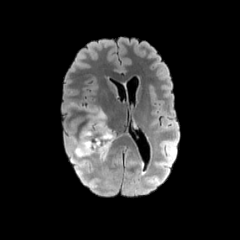
FLAIR magnetic resonance.
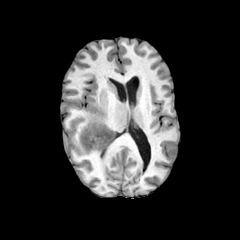
Same slice, T1-weighted magnetic resonance.
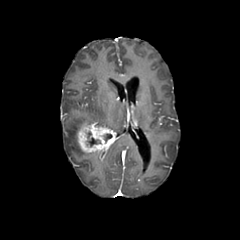
Post-contrast T1-weighted MR image of the same slice.
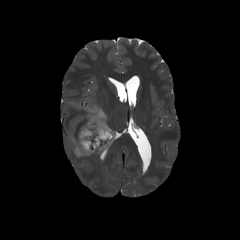
T2-weighted magnetic resonance of the same slice.
Head | Axial slice
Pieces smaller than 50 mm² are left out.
The enhancing tumor appears at bbox=[78, 122, 115, 153]. The largest necrotic tumor core region is at bbox=[88, 137, 98, 146]. The 2 largest peritumoral edema regions are located at bbox=[71, 137, 92, 157]; bbox=[87, 107, 107, 126].